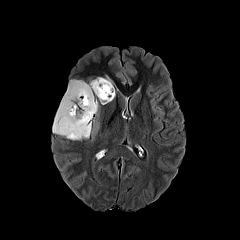
FLAIR MRI.
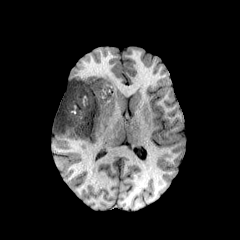
T1-weighted magnetic resonance.
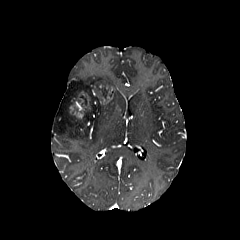
Post-contrast T1-weighted magnetic resonance of the same slice.
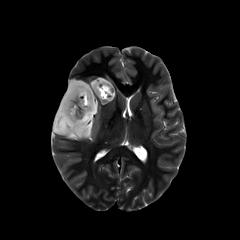
T2-weighted MR of the same slice.
Axial view
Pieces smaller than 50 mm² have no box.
The 3 largest necrotic tumor core regions are located at 79,95,87,107; 94,83,108,100; 70,92,95,133. The 2 largest enhancing tumor regions are located at 69,91,90,119; 100,85,113,103. The 2 largest peritumoral edema regions appear at 93,100,99,134; 53,76,113,140.